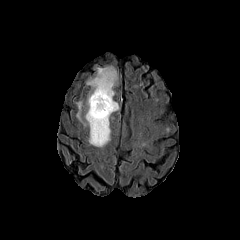
FLAIR MR image.
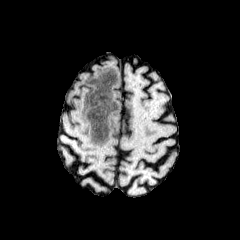
Same slice, T1-weighted MRI.
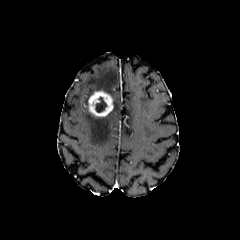
Same slice, post-contrast T1-weighted MR image.
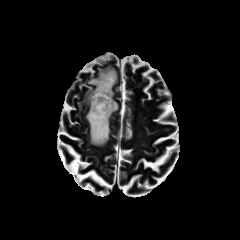
Same slice, T2-weighted MRI.
Axial view, Brain
The necrotic tumor core is bounded by <box>95,97,106,112</box>. 3 peritumoral edema regions are located at <box>87,66,117,99</box>, <box>85,100,118,147</box>, <box>76,102,82,118</box>. The enhancing tumor is at <box>88,90,113,117</box>.